FLAIR magnetic resonance.
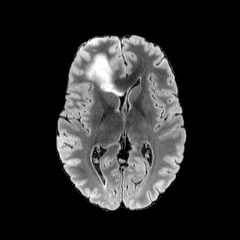
T1-weighted MRI.
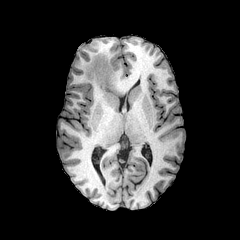
Post-contrast T1-weighted magnetic resonance.
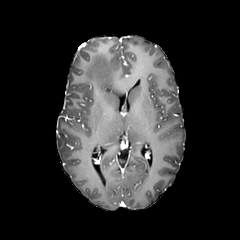
T2-weighted MR.
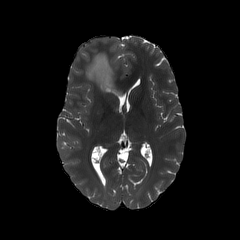
Axial view
peritumoral edema = x1=86 y1=54 x2=120 y2=95